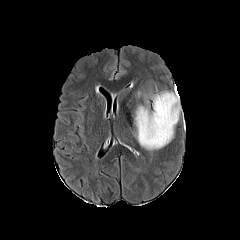
FLAIR MR image.
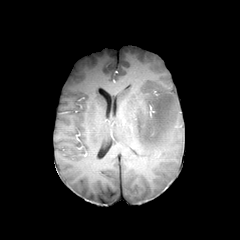
Same slice, T1-weighted MRI.
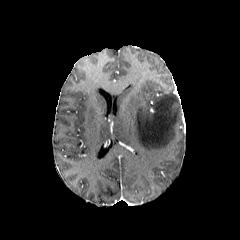
Post-contrast T1-weighted MRI of the same slice.
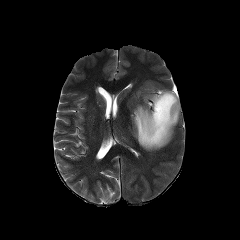
T2-weighted MRI.
240x240; Head
peritumoral edema: <bbox>134, 91, 180, 150</bbox>